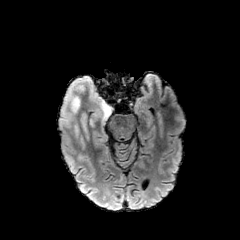
FLAIR MR.
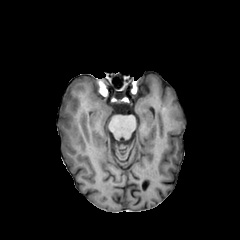
T1-weighted MR image of the same slice.
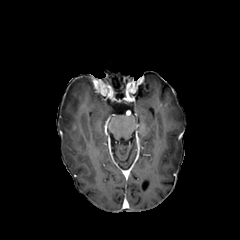
Post-contrast T1-weighted MR image of the same slice.
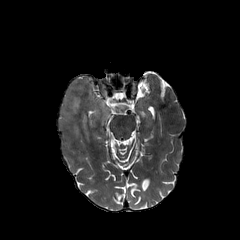
T2-weighted MR.
Head; Axial slice; 240x240
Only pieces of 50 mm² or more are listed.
Annotated regions:
• peritumoral edema: x1=59, y1=75, x2=112, y2=149; x1=93, y1=129, x2=103, y2=138